Image width 240 mm, 1.00 mm slice spacing; Axial view; Brain; Slice 106/155
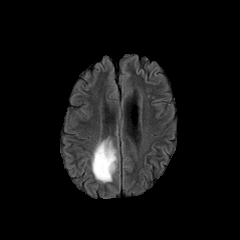
FLAIR MR.
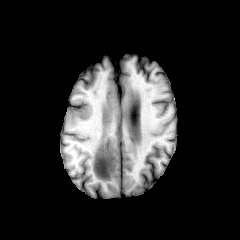
T1-weighted magnetic resonance of the same slice.
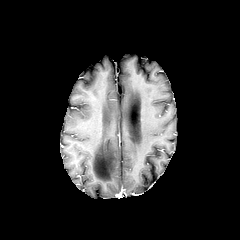
Post-contrast T1-weighted MR.
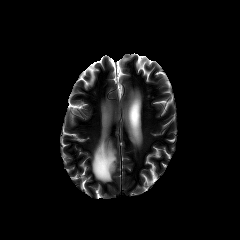
T2-weighted MR.
peritumoral edema at 92,138,117,182